Image width 240 mm, 1.00 mm slice spacing | Brain
FLAIR MR.
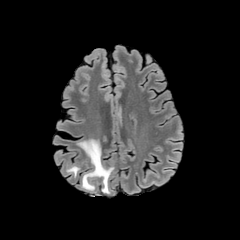
T1-weighted MR.
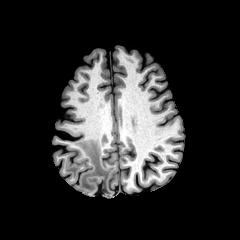
Post-contrast T1-weighted magnetic resonance.
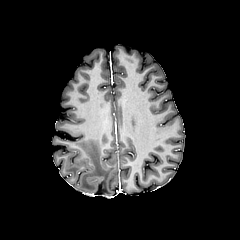
T2-weighted MR image.
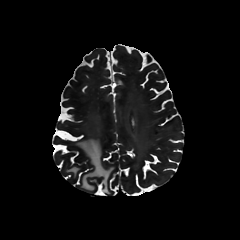
{
  "peritumoral_edema": [
    "(66, 163, 79, 176)",
    "(77, 139, 113, 193)"
  ]
}